Axial slice. Head. Image size 240x240.
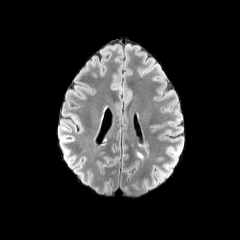
FLAIR magnetic resonance.
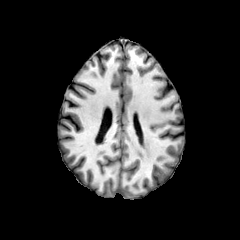
T1-weighted MR image of the same slice.
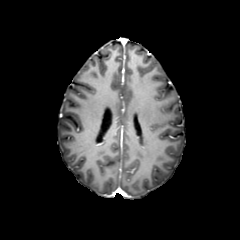
Post-contrast T1-weighted MR of the same slice.
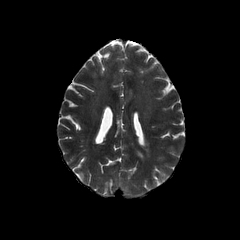
T2-weighted MR.
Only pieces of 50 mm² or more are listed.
- peritumoral edema: 135,150,144,160; 138,142,149,156